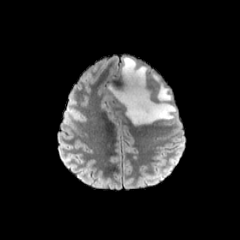
FLAIR MR image.
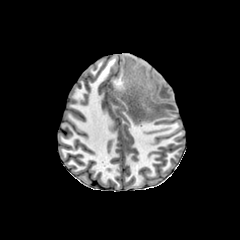
T1-weighted MR image.
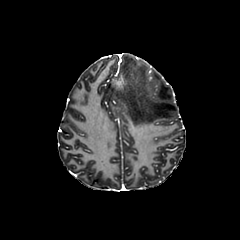
Post-contrast T1-weighted MRI.
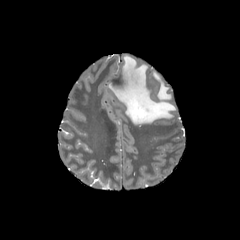
T2-weighted MR of the same slice.
Image size 240x240, Head, Axial view
The peritumoral edema is located at l=109, t=56, r=176, b=124.